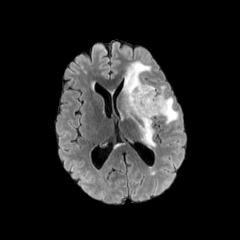
FLAIR magnetic resonance.
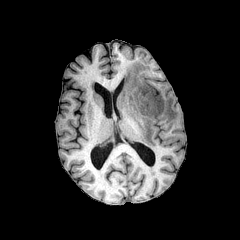
Same slice, T1-weighted MR image.
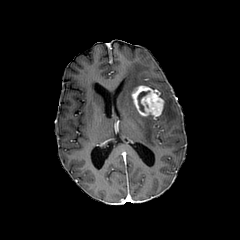
Same slice, post-contrast T1-weighted magnetic resonance.
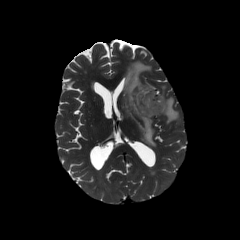
T2-weighted MR image.
Brain, Axial slice
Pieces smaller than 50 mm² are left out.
<segmentation>
  <enhancing_tumor>box(131, 85, 164, 116)</enhancing_tumor>
  <necrotic_tumor_core>box(138, 91, 149, 111)</necrotic_tumor_core>
  <peritumoral_edema>box(123, 61, 155, 146); box(160, 86, 178, 124)</peritumoral_edema>
</segmentation>